Image size 240x240 | Axial plane | Brain
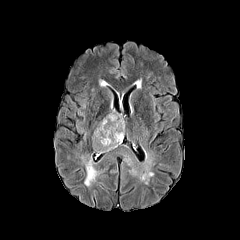
FLAIR MRI.
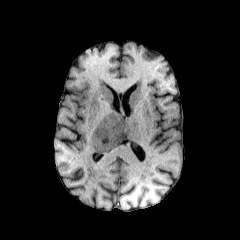
T1-weighted MR.
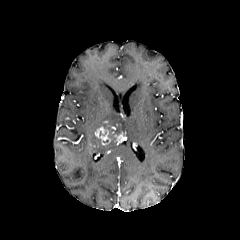
Post-contrast T1-weighted MR.
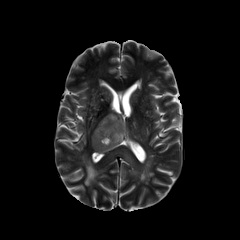
T2-weighted MR of the same slice.
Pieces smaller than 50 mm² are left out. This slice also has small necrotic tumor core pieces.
{
  "enhancing_tumor": [
    "bbox=[94, 126, 123, 145]"
  ],
  "peritumoral_edema": [
    "bbox=[92, 109, 124, 153]",
    "bbox=[81, 156, 101, 186]"
  ]
}